Axial view.
FLAIR magnetic resonance.
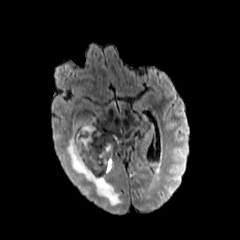
T1-weighted MR.
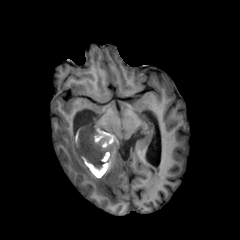
Post-contrast T1-weighted MRI.
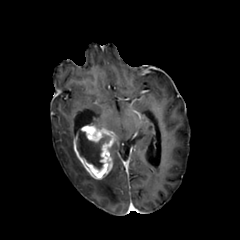
T2-weighted MR.
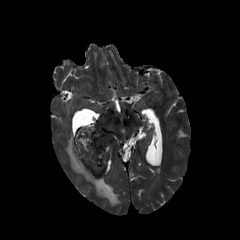
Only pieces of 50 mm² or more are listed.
enhancing tumor: [73, 124, 114, 179] | necrotic tumor core: [77, 132, 111, 170] | peritumoral edema: [66, 135, 121, 205]